Slice index 113, Axial view, Image width 240 mm, Brain
FLAIR MRI.
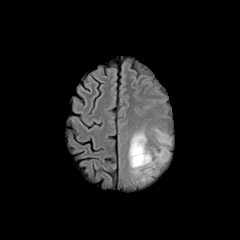
T1-weighted magnetic resonance.
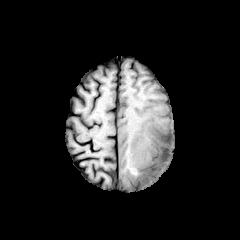
Post-contrast T1-weighted MR image.
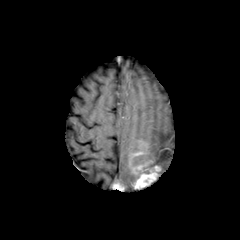
T2-weighted magnetic resonance.
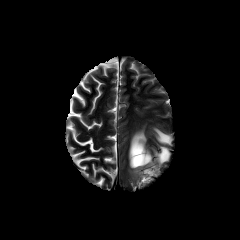
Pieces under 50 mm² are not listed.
enhancing tumor: box(133, 160, 160, 188); box(131, 141, 145, 162) | peritumoral edema: box(128, 127, 171, 178) | necrotic tumor core: box(133, 155, 148, 164)